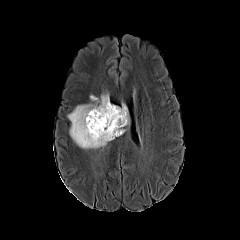
FLAIR MR image.
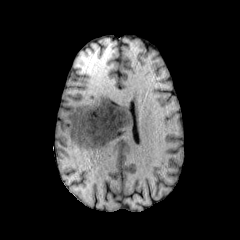
T1-weighted MRI.
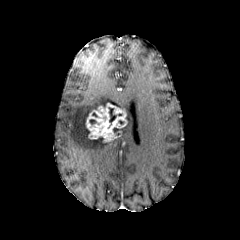
Post-contrast T1-weighted magnetic resonance of the same slice.
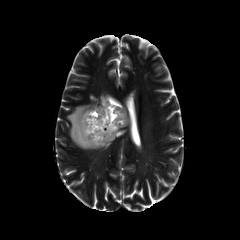
T2-weighted MRI.
Axial plane. Brain.
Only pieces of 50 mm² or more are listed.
necrotic tumor core — x1=107, y1=107, x2=116, y2=128
peritumoral edema — x1=67, y1=94, x2=109, y2=149; x1=121, y1=104, x2=129, y2=124
enhancing tumor — x1=85, y1=103, x2=127, y2=142